FLAIR MR image.
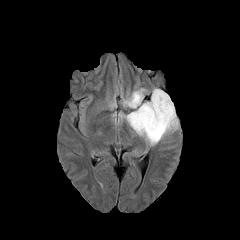
T1-weighted MRI.
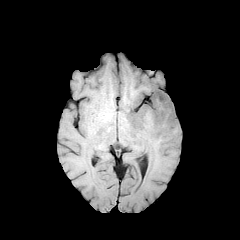
Post-contrast T1-weighted MRI.
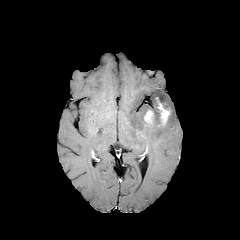
T2-weighted MRI.
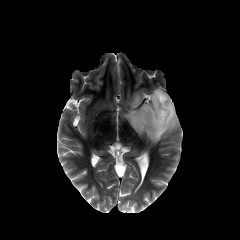
Head
enhancing tumor = x1=155 y1=97 x2=171 y2=125, x1=144 y1=108 x2=155 y2=123
peritumoral edema = x1=121 y1=88 x2=178 y2=145, x1=124 y1=89 x2=144 y2=108